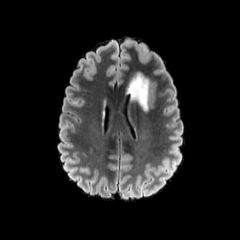
FLAIR MR.
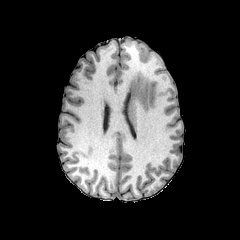
T1-weighted MR.
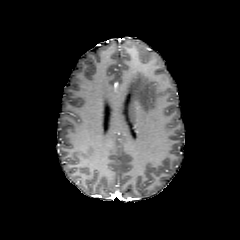
Same slice, post-contrast T1-weighted MRI.
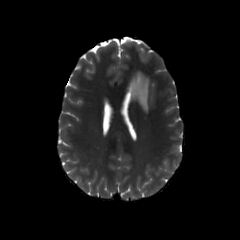
T2-weighted MRI of the same slice.
Axial view | Brain
peritumoral edema: bounding box left=128, top=73, right=148, bottom=111